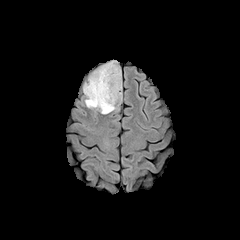
FLAIR magnetic resonance.
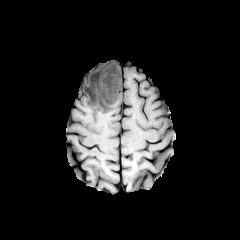
Same slice, T1-weighted MRI.
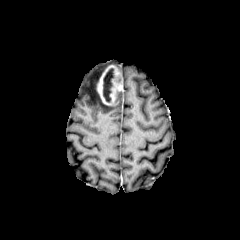
Post-contrast T1-weighted MRI of the same slice.
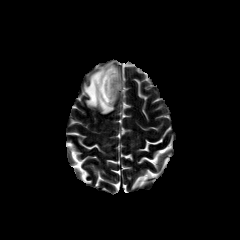
T2-weighted magnetic resonance.
Axial slice.
necrotic tumor core = rect(102, 68, 113, 102)
peritumoral edema = rect(83, 60, 121, 114)
enhancing tumor = rect(96, 65, 122, 105)